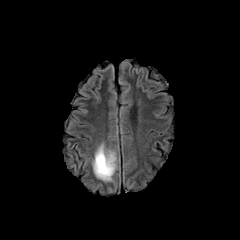
FLAIR MR image.
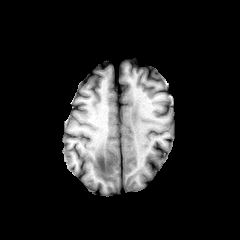
T1-weighted magnetic resonance.
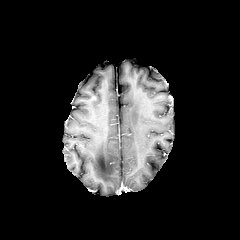
Post-contrast T1-weighted MRI.
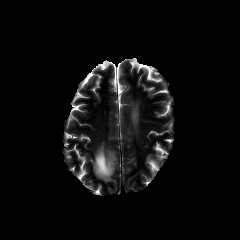
T2-weighted MR image.
Head | 240x240 px
peritumoral edema at bbox(93, 144, 116, 181)